FLAIR MR.
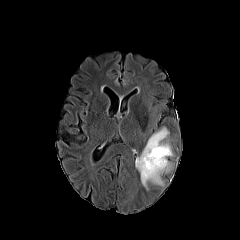
T1-weighted MR.
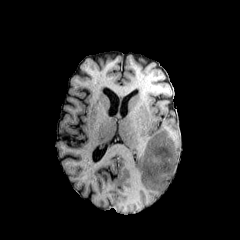
Post-contrast T1-weighted magnetic resonance.
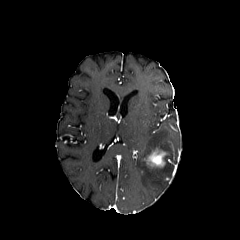
T2-weighted MRI.
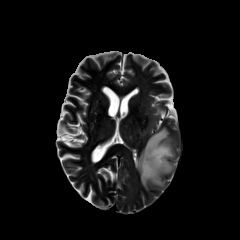
240x240, Axial plane
<segmentation>
  <peritumoral_edema>{"x1": 135, "y1": 127, "x2": 173, "y2": 190}</peritumoral_edema>
  <enhancing_tumor>{"x1": 143, "y1": 148, "x2": 169, "y2": 168}</enhancing_tumor>
</segmentation>